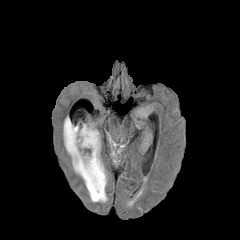
FLAIR MR image.
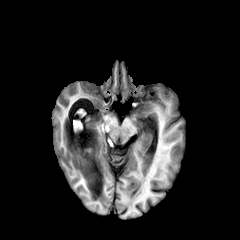
Same slice, T1-weighted magnetic resonance.
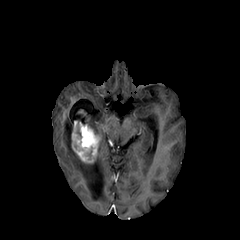
Post-contrast T1-weighted MR image.
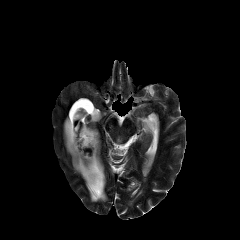
T2-weighted MR of the same slice.
Brain
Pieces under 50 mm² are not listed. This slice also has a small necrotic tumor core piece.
enhancing tumor = 71,124,100,163
peritumoral edema = 88,123,100,137; 63,116,107,202